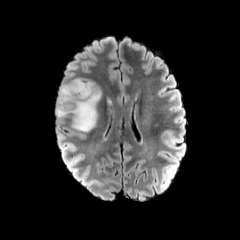
FLAIR MR.
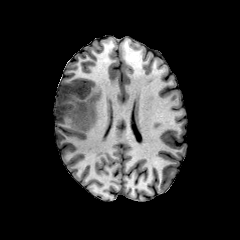
T1-weighted MR of the same slice.
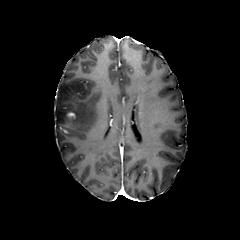
Same slice, post-contrast T1-weighted magnetic resonance.
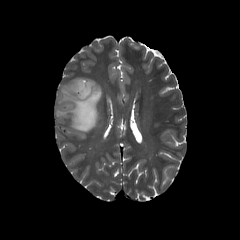
Same slice, T2-weighted magnetic resonance.
Brain. Axial view.
Segmented structures:
* enhancing tumor: (66, 111, 76, 120)
* peritumoral edema: (55, 78, 101, 131)